240x240. Axial view. Brain.
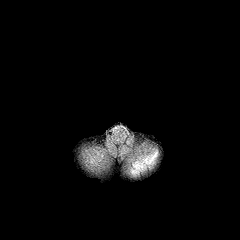
FLAIR magnetic resonance.
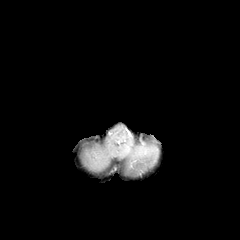
T1-weighted magnetic resonance of the same slice.
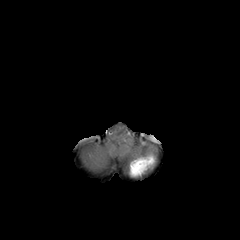
Post-contrast T1-weighted MR image.
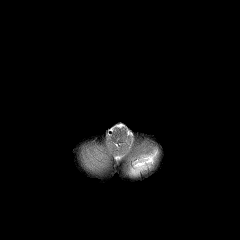
T2-weighted magnetic resonance.
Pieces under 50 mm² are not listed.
peritumoral_edema:
  - (128,148,158,171)
enhancing_tumor:
  - (129,154,155,176)